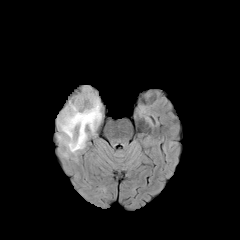
FLAIR magnetic resonance.
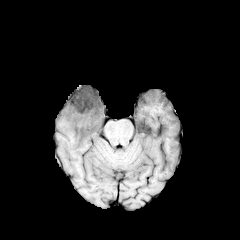
T1-weighted MRI of the same slice.
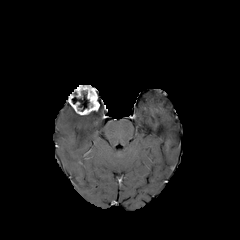
Post-contrast T1-weighted MR of the same slice.
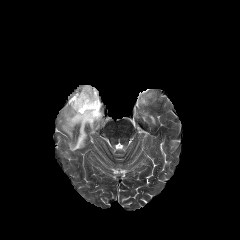
T2-weighted MRI.
Brain.
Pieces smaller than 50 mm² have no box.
necrotic_tumor_core:
  - 72,92,89,111
peritumoral_edema:
  - 59,102,102,153
enhancing_tumor:
  - 68,85,99,115